Image width 240 mm, 1.00 mm slice spacing
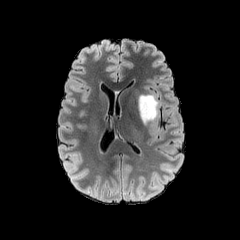
FLAIR MR.
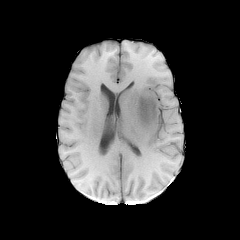
T1-weighted MRI.
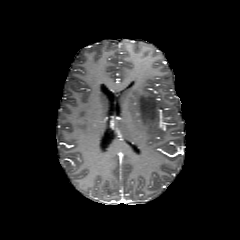
Post-contrast T1-weighted MR image.
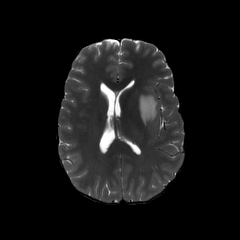
Same slice, T2-weighted MR image.
peritumoral edema = bbox(138, 94, 158, 124)